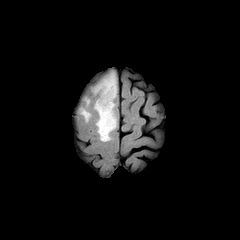
FLAIR magnetic resonance.
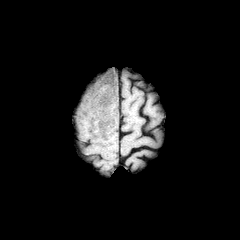
Same slice, T1-weighted MR.
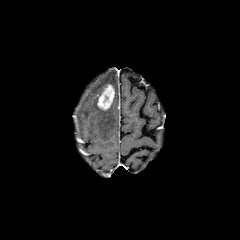
Post-contrast T1-weighted magnetic resonance.
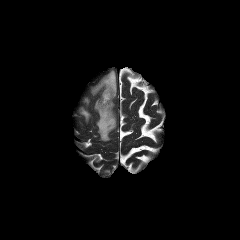
T2-weighted magnetic resonance.
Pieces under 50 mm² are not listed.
peritumoral edema at bbox=[94, 99, 116, 141]; bbox=[93, 72, 116, 98]; bbox=[81, 108, 90, 121]
enhancing tumor at bbox=[97, 84, 114, 110]